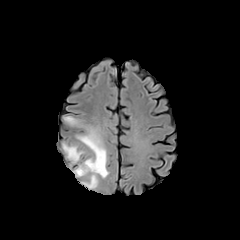
FLAIR MR image.
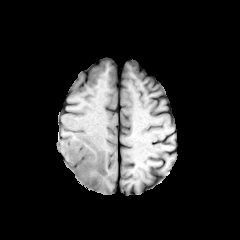
T1-weighted MRI of the same slice.
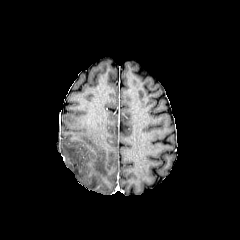
Post-contrast T1-weighted MR image.
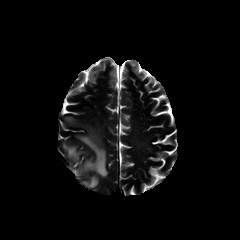
T2-weighted MRI of the same slice.
Brain
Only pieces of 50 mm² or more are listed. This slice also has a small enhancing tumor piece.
peritumoral edema: [62, 143, 85, 163], [72, 127, 108, 188], [64, 116, 77, 124]